Image width 240 mm | Image size 240x240
FLAIR MR.
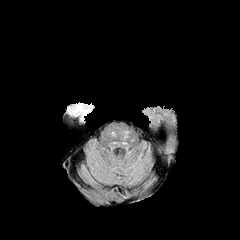
T1-weighted MRI.
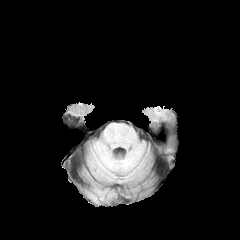
Post-contrast T1-weighted magnetic resonance.
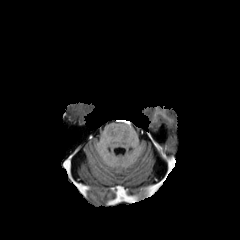
T2-weighted magnetic resonance.
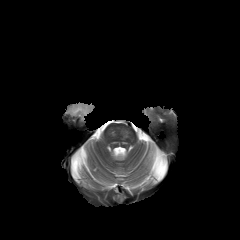
peritumoral edema = box(66, 104, 92, 124)